Slice 78 of 155.
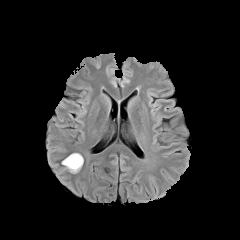
FLAIR MR.
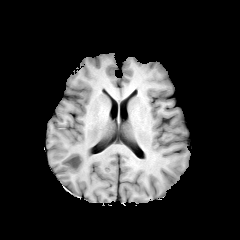
T1-weighted MR image of the same slice.
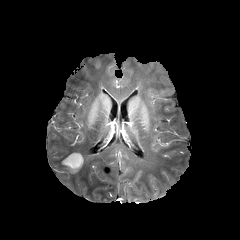
Post-contrast T1-weighted MR image.
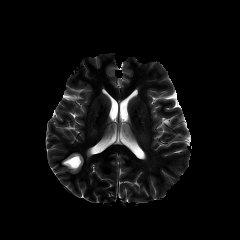
Same slice, T2-weighted MRI.
Findings:
- peritumoral edema: [x1=62, y1=161, x2=81, y2=173]
- enhancing tumor: [x1=63, y1=153, x2=83, y2=170]